FLAIR MR image.
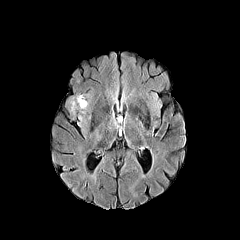
T1-weighted MR.
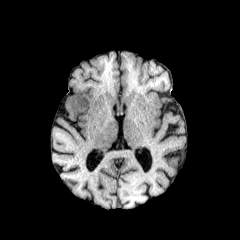
Post-contrast T1-weighted MR.
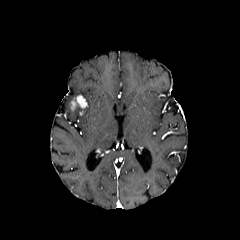
T2-weighted MRI.
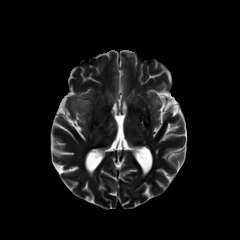
Axial view.
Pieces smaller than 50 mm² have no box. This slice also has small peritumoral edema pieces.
enhancing_tumor:
  - l=71, t=95, r=87, b=110